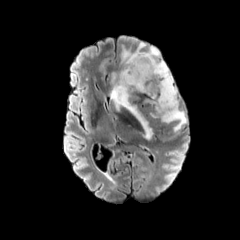
FLAIR MR image.
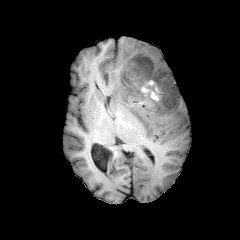
T1-weighted MR image of the same slice.
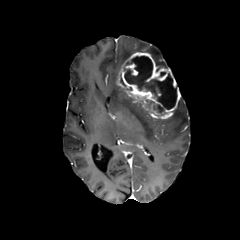
Post-contrast T1-weighted MRI.
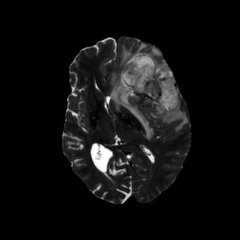
T2-weighted magnetic resonance.
Axial plane
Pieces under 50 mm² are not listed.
necrotic_tumor_core:
  - x1=124 y1=56 x2=176 y2=112
enhancing_tumor:
  - x1=117 y1=52 x2=180 y2=119
peritumoral_edema:
  - x1=160 y1=99 x2=187 y2=132
  - x1=120 y1=42 x2=167 y2=67
  - x1=110 y1=71 x2=152 y2=139